FLAIR MR.
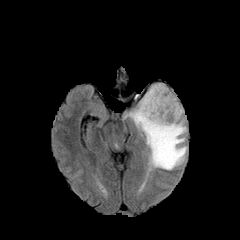
T1-weighted magnetic resonance.
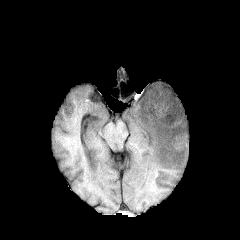
Post-contrast T1-weighted magnetic resonance.
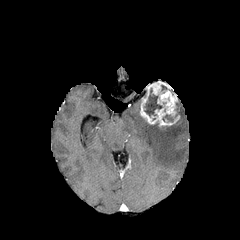
T2-weighted MR.
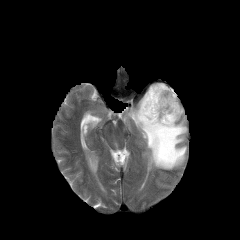
240x240 px, Head
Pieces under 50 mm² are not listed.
Annotated regions:
- enhancing tumor: box=[139, 81, 180, 127]
- necrotic tumor core: box=[145, 89, 162, 116]
- peritumoral edema: box=[126, 100, 187, 170]